240x240 px; Image width 240 mm, 1.00 mm slice spacing
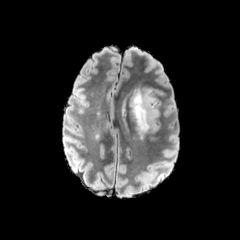
FLAIR MRI.
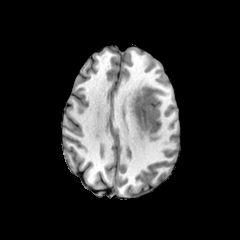
T1-weighted MRI.
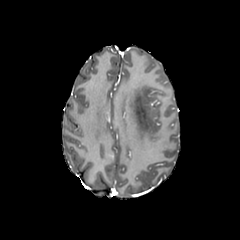
Post-contrast T1-weighted MR image.
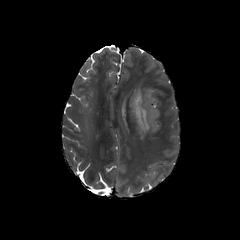
T2-weighted MRI of the same slice.
* peritumoral edema: <bbox>129, 83, 159, 139</bbox>